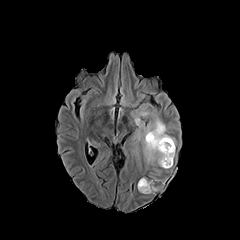
FLAIR MRI.
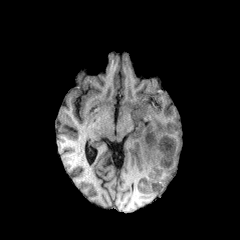
Same slice, T1-weighted magnetic resonance.
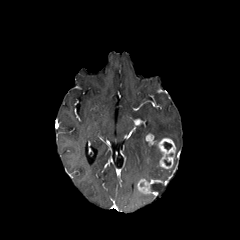
Same slice, post-contrast T1-weighted MRI.
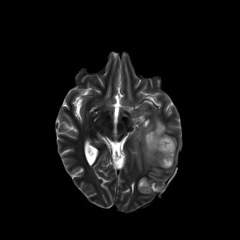
T2-weighted MR.
Head
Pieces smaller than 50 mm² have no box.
The 2 largest peritumoral edema regions are located at (134,120,175,164), (138,108,158,118). 2 enhancing tumor regions are located at (137,178,160,194), (145,133,175,168). The largest necrotic tumor core region is bounded by (151,183,160,192).